FLAIR MR.
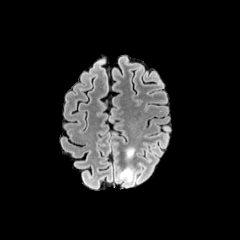
T1-weighted magnetic resonance.
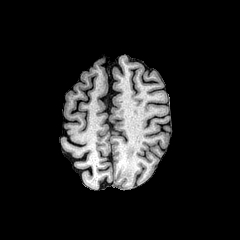
Post-contrast T1-weighted MRI.
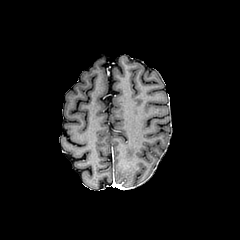
T2-weighted MR.
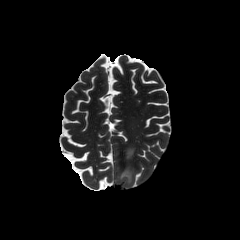
240x240 px
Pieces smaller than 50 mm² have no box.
Findings:
• peritumoral edema: bbox=[119, 166, 133, 183]